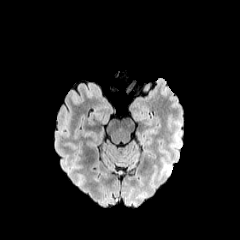
FLAIR MR.
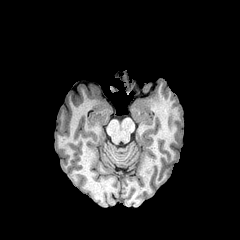
T1-weighted MR.
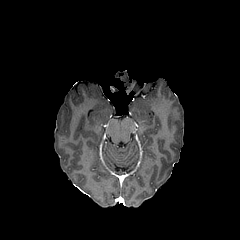
Same slice, post-contrast T1-weighted MR.
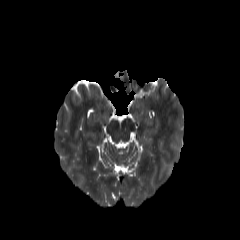
T2-weighted MRI.
Image size 240x240
<segmentation>
  <peritumoral_edema>161,158,172,175; 170,135,181,151</peritumoral_edema>
</segmentation>